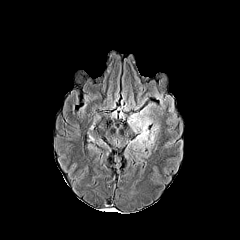
FLAIR magnetic resonance.
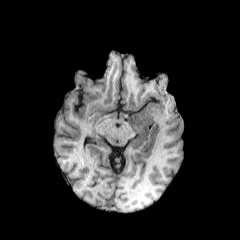
T1-weighted MR.
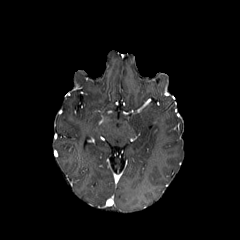
Same slice, post-contrast T1-weighted MR image.
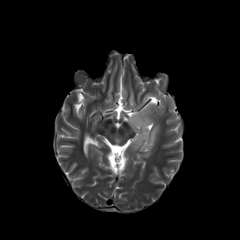
T2-weighted MR of the same slice.
Brain
peritumoral edema at 128,105,158,149